FLAIR MR.
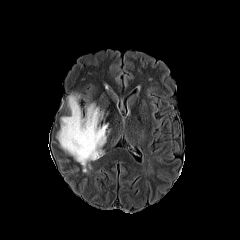
T1-weighted MR.
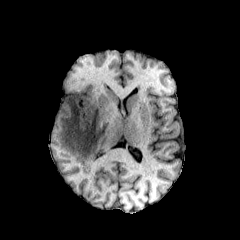
Post-contrast T1-weighted MRI.
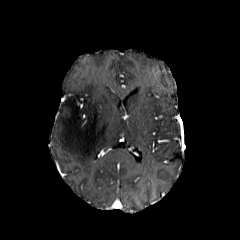
T2-weighted MRI.
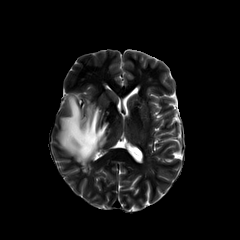
Head; Axial slice
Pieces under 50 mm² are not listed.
peritumoral edema: rect(57, 95, 108, 173)